FLAIR MRI.
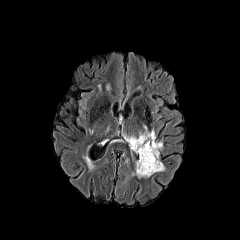
T1-weighted MRI.
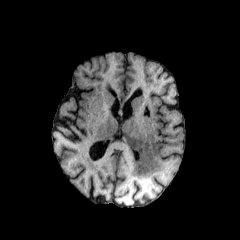
Post-contrast T1-weighted magnetic resonance.
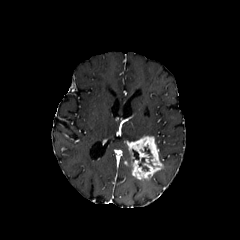
T2-weighted MR.
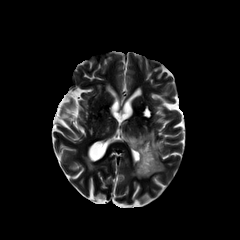
Image size 240x240 | Head | Axial view
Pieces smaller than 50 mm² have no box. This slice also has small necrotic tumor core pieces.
The largest peritumoral edema region is at 124 125 155 142. The largest enhancing tumor region appears at 127 136 163 179.